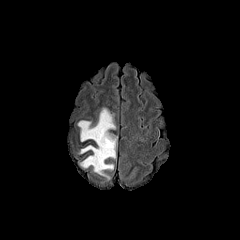
FLAIR MR image.
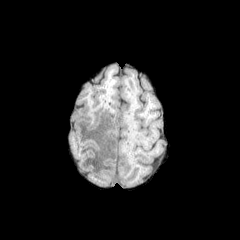
T1-weighted MR.
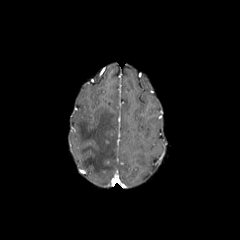
Post-contrast T1-weighted MR.
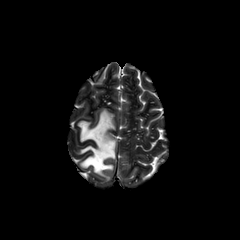
T2-weighted MRI of the same slice.
Brain; 240x240 px
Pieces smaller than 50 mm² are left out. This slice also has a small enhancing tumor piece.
peritumoral_edema:
  - bbox=[78, 108, 116, 179]